FLAIR magnetic resonance.
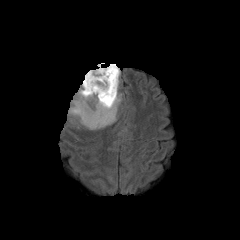
T1-weighted MRI.
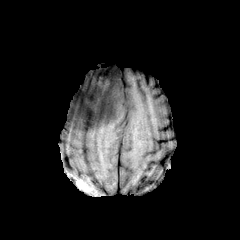
Post-contrast T1-weighted MR.
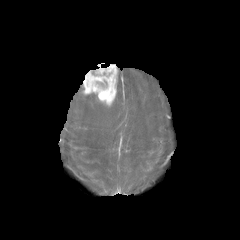
T2-weighted magnetic resonance.
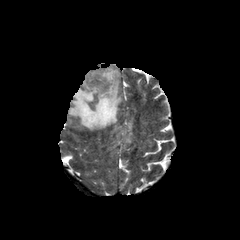
peritumoral edema: x1=68, y1=68, x2=121, y2=130 | enhancing tumor: x1=82, y1=64, x2=118, y2=106